Axial slice; 240x240
FLAIR magnetic resonance.
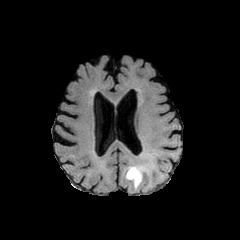
T1-weighted MR.
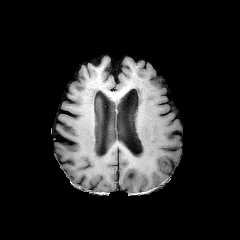
Post-contrast T1-weighted MRI.
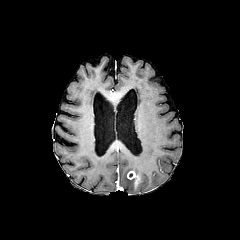
T2-weighted MR.
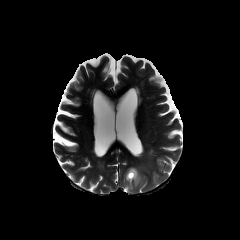
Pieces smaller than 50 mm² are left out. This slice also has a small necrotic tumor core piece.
The enhancing tumor is at (127, 171, 140, 186). The peritumoral edema is bounded by (126, 162, 150, 190).